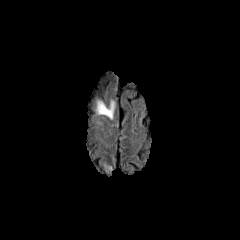
FLAIR MR.
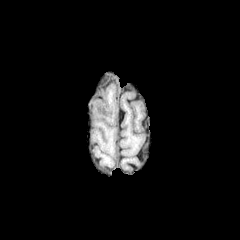
Same slice, T1-weighted magnetic resonance.
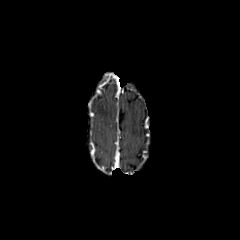
Same slice, post-contrast T1-weighted MR.
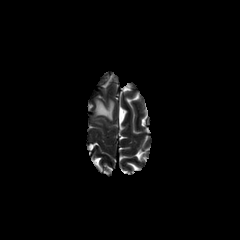
Same slice, T2-weighted MR.
240x240 px.
peritumoral_edema:
  - [96,101,114,119]